FLAIR MR image.
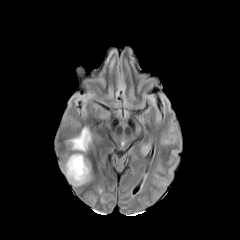
T1-weighted MRI.
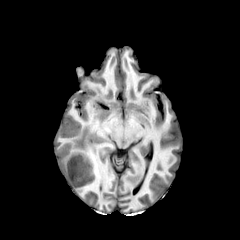
Post-contrast T1-weighted MR image.
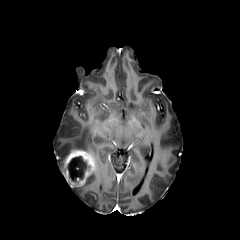
T2-weighted magnetic resonance.
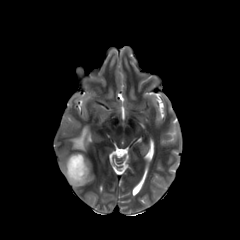
Head.
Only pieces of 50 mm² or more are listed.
peritumoral edema = region(68, 127, 90, 151)
enhancing tumor = region(62, 150, 93, 186)
necrotic tumor core = region(67, 156, 86, 182)